Axial view. 240x240.
FLAIR MR.
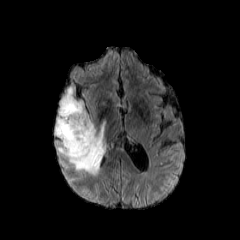
T1-weighted MR image.
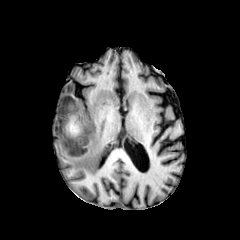
Post-contrast T1-weighted magnetic resonance.
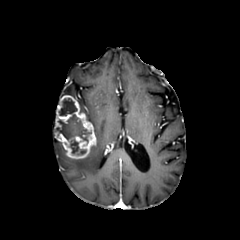
T2-weighted MRI.
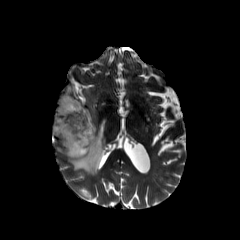
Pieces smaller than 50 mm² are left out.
<segmentation>
  <necrotic_tumor_core>bbox(70, 139, 78, 153); bbox(59, 98, 76, 115); bbox(56, 114, 90, 142)</necrotic_tumor_core>
  <peritumoral_edema>bbox(56, 121, 105, 175); bbox(65, 86, 74, 96); bbox(78, 101, 93, 125)</peritumoral_edema>
  <enhancing_tumor>bbox(54, 95, 96, 159)</enhancing_tumor>
</segmentation>